FLAIR magnetic resonance.
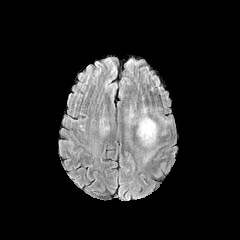
T1-weighted MR image.
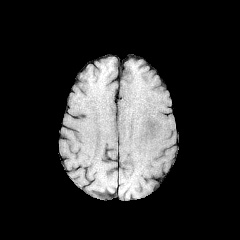
Post-contrast T1-weighted MR.
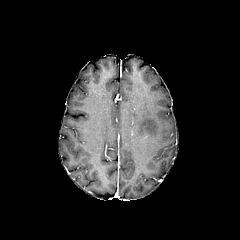
T2-weighted MR.
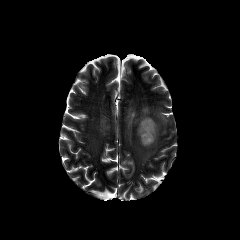
Axial plane
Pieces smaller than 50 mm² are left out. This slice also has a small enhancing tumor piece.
2 peritumoral edema regions are bounded by box=[137, 107, 158, 146]; box=[129, 111, 135, 123].